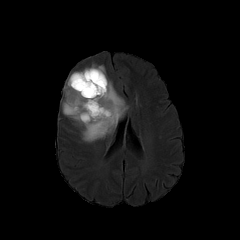
FLAIR MR.
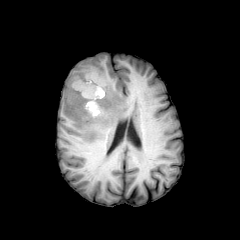
T1-weighted MR image.
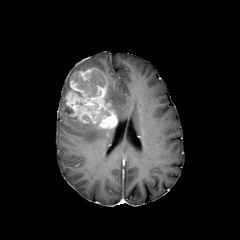
Same slice, post-contrast T1-weighted MR.
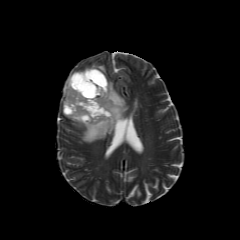
T2-weighted MR.
Head
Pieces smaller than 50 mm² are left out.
{"peritumoral_edema": [{"x1": 62, "y1": 99, "x2": 114, "y2": 142}, {"x1": 63, "y1": 71, "x2": 78, "y2": 96}, {"x1": 81, "y1": 63, "x2": 128, "y2": 121}], "necrotic_tumor_core": [{"x1": 74, "y1": 71, "x2": 105, "y2": 96}, {"x1": 64, "y1": 104, "x2": 72, "y2": 114}], "enhancing_tumor": [{"x1": 65, "y1": 68, "x2": 117, "y2": 128}]}